Slice index 102, Brain
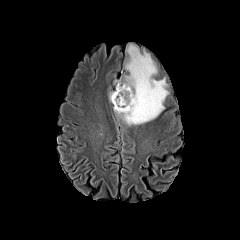
FLAIR magnetic resonance.
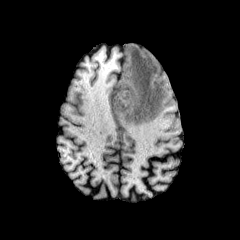
Same slice, T1-weighted magnetic resonance.
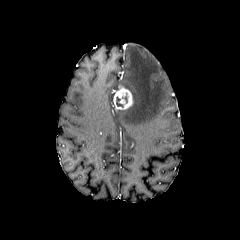
Post-contrast T1-weighted magnetic resonance.
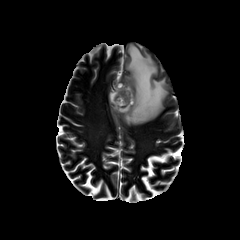
T2-weighted MRI.
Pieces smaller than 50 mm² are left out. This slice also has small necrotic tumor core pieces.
enhancing tumor = box(113, 85, 133, 110)
peritumoral edema = box(114, 44, 168, 125)